FLAIR MR image.
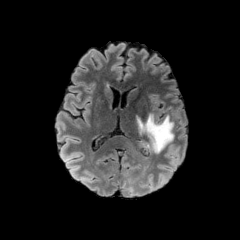
T1-weighted MR.
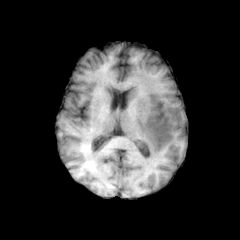
Post-contrast T1-weighted MR.
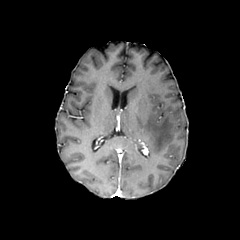
T2-weighted MR image.
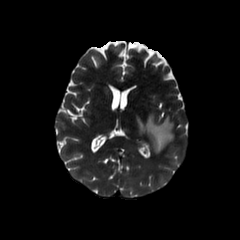
Axial plane, Head
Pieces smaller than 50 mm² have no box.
peritumoral edema: (137, 114, 173, 153)